Axial view; Slice 80/155; Image width 240 mm; Head
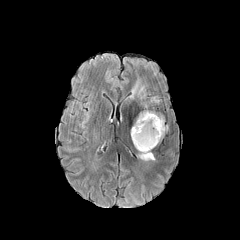
FLAIR magnetic resonance.
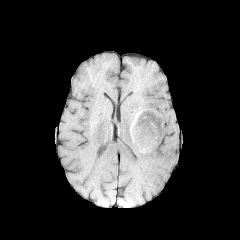
T1-weighted MRI of the same slice.
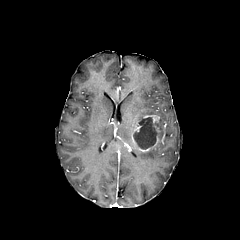
Post-contrast T1-weighted MR of the same slice.
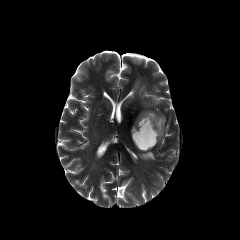
T2-weighted MR image.
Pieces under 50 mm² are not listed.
enhancing tumor = x1=131, y1=115, x2=161, y2=151
necrotic tumor core = x1=133, y1=117, x2=159, y2=149
peritumoral edema = x1=137, y1=150, x2=155, y2=160; x1=136, y1=110, x2=158, y2=122; x1=138, y1=86, x2=146, y2=98; x1=160, y1=115, x2=168, y2=140